Brain. Slice index 95. Axial view.
FLAIR MR image.
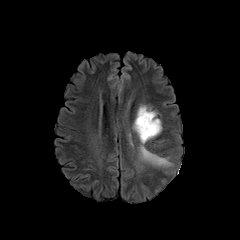
T1-weighted MRI.
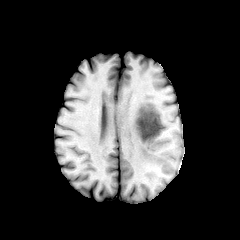
Post-contrast T1-weighted MR image.
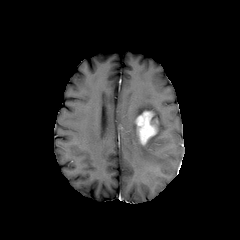
T2-weighted MR image.
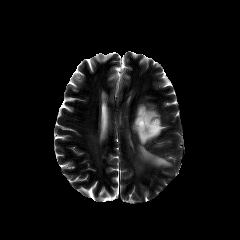
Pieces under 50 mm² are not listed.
peritumoral edema at region(139, 144, 171, 166); region(136, 105, 161, 140)
enhancing tumor at region(135, 111, 158, 144)